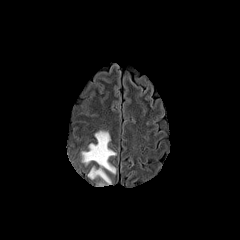
FLAIR MRI.
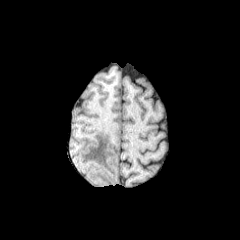
T1-weighted MRI.
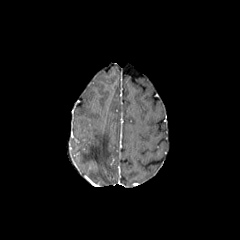
Post-contrast T1-weighted MR.
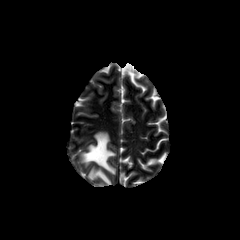
T2-weighted MRI of the same slice.
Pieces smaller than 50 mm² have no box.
<segmentation>
  <peritumoral_edema>81 131 116 184</peritumoral_edema>
</segmentation>